Slice index 77; 240x240; Axial view
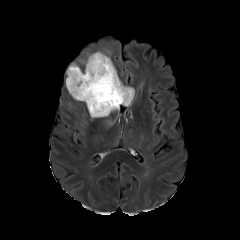
FLAIR MRI.
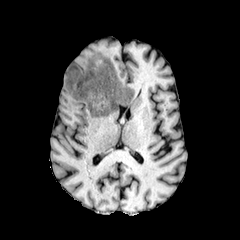
T1-weighted MR image.
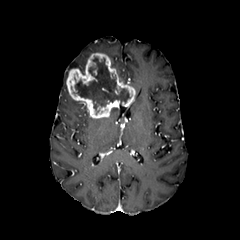
Post-contrast T1-weighted magnetic resonance of the same slice.
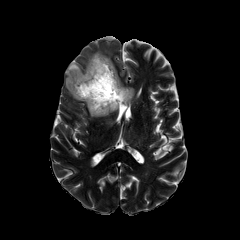
T2-weighted MR.
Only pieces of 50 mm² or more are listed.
<segmentation>
  <necrotic_tumor_core><bbox>75, 57, 129, 109</bbox></necrotic_tumor_core>
  <peritumoral_edema><bbox>67, 63, 78, 77</bbox></peritumoral_edema>
  <enhancing_tumor><bbox>66, 53, 135, 118</bbox></enhancing_tumor>
</segmentation>